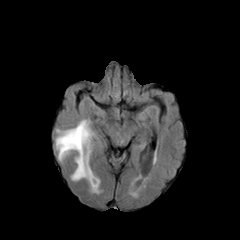
FLAIR MR.
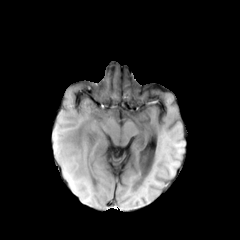
T1-weighted MR image.
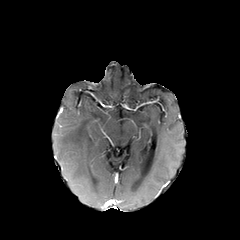
Post-contrast T1-weighted MRI.
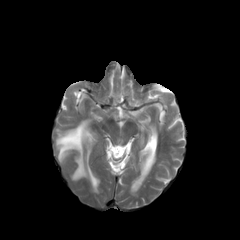
T2-weighted MR image.
The peritumoral edema appears at <bbox>56, 120, 99, 192</bbox>.